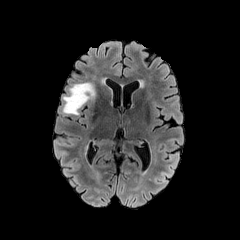
FLAIR MR image.
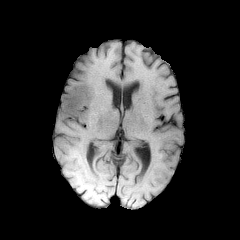
T1-weighted MRI.
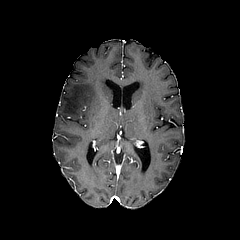
Same slice, post-contrast T1-weighted magnetic resonance.
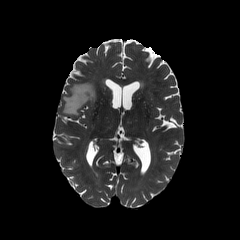
T2-weighted MRI.
Brain
Annotated regions:
- peritumoral edema: [62,82,95,115]